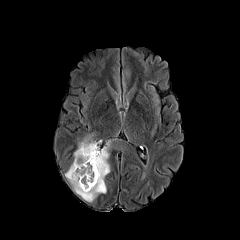
FLAIR MR.
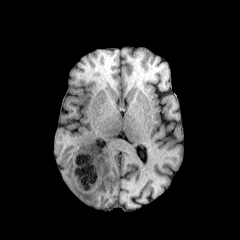
T1-weighted MR image of the same slice.
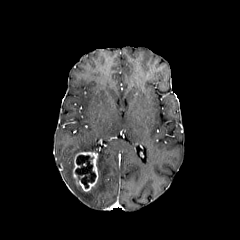
Post-contrast T1-weighted MR.
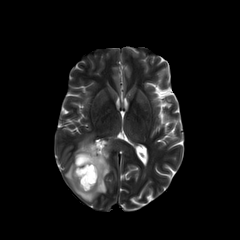
T2-weighted magnetic resonance.
Axial slice. Image size 240x240.
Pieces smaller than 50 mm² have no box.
enhancing tumor: [73,151,98,191]
necrotic tumor core: [75,155,95,188]
peritumoral edema: [65,134,111,202]